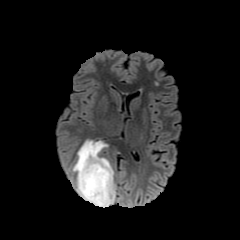
FLAIR MR image.
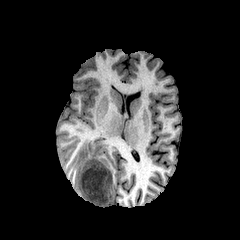
Same slice, T1-weighted MR image.
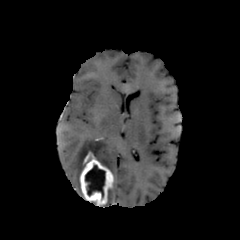
Same slice, post-contrast T1-weighted MR image.
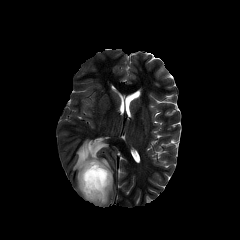
T2-weighted MR.
Segmented structures:
* enhancing tumor: (79, 151, 113, 206)
* peritumoral edema: (103, 183, 115, 207), (72, 139, 113, 197)
* necrotic tumor core: (85, 162, 105, 197)